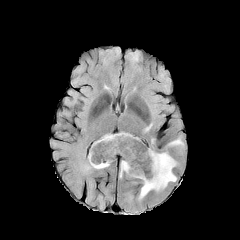
FLAIR magnetic resonance.
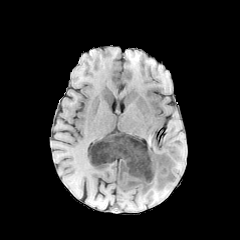
T1-weighted magnetic resonance.
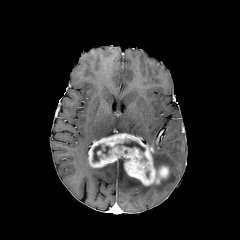
Same slice, post-contrast T1-weighted magnetic resonance.
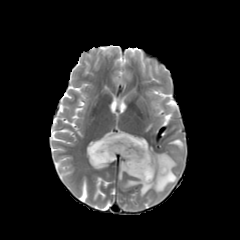
T2-weighted MRI.
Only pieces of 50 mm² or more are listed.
2 enhancing tumor regions appear at {"x1": 88, "y1": 133, "x2": 157, "y2": 185}, {"x1": 160, "y1": 166, "x2": 169, "y2": 180}. The 4 largest peritumoral edema regions appear at {"x1": 169, "y1": 139, "x2": 182, "y2": 145}, {"x1": 119, "y1": 160, "x2": 125, "y2": 179}, {"x1": 139, "y1": 151, "x2": 177, "y2": 198}, {"x1": 87, "y1": 164, "x2": 109, "y2": 169}. The 2 largest necrotic tumor core regions are located at {"x1": 119, "y1": 141, "x2": 144, "y2": 151}, {"x1": 93, "y1": 144, "x2": 110, "y2": 162}.